FLAIR MR.
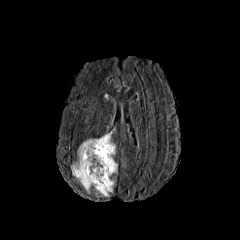
T1-weighted MR image.
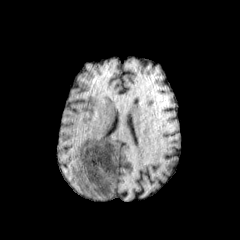
Post-contrast T1-weighted MRI.
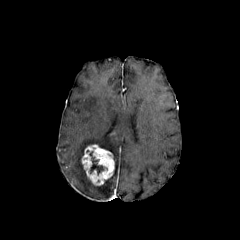
T2-weighted magnetic resonance.
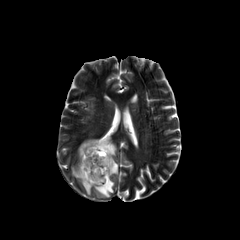
Brain. Axial slice.
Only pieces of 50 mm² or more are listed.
Annotated regions:
- peritumoral edema: (71,135,115,196)
- necrotic tumor core: (90,157,103,174)
- enhancing tumor: (81,144,114,185)